FLAIR MR image.
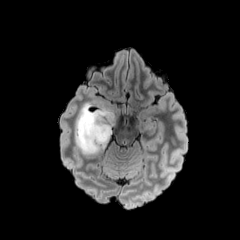
T1-weighted MR image.
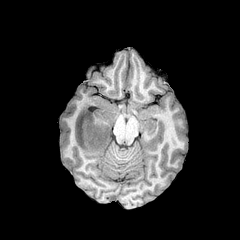
Post-contrast T1-weighted MRI.
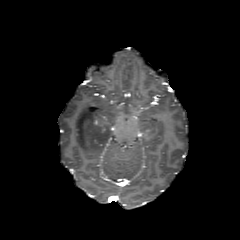
T2-weighted MRI.
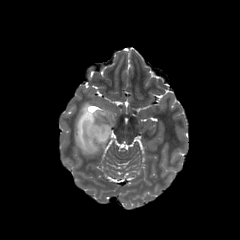
Axial view; Head
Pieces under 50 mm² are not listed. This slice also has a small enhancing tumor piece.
peritumoral_edema:
  - region(75, 100, 120, 155)